FLAIR MRI.
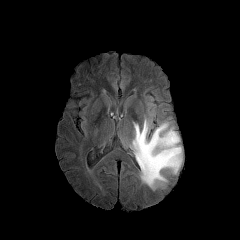
T1-weighted magnetic resonance.
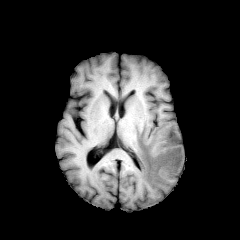
Post-contrast T1-weighted MR image.
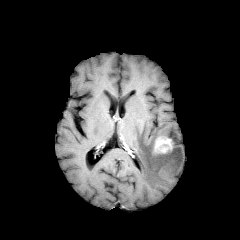
T2-weighted MR.
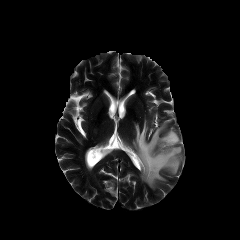
Axial view | Brain
enhancing tumor — 155, 137, 173, 153
peritumoral edema — 131, 119, 182, 189